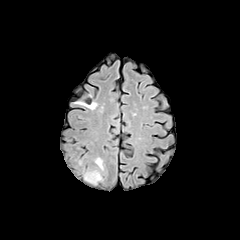
FLAIR magnetic resonance.
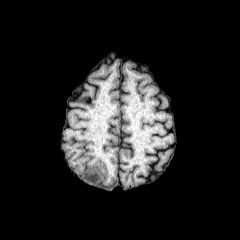
T1-weighted magnetic resonance.
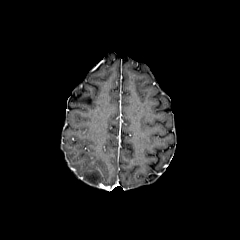
Same slice, post-contrast T1-weighted magnetic resonance.
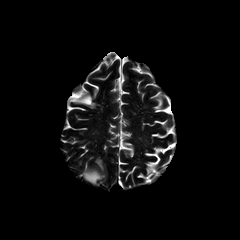
T2-weighted MR of the same slice.
Head, Axial plane
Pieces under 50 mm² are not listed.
peritumoral_edema:
  - {"x1": 83, "y1": 170, "x2": 102, "y2": 184}
  - {"x1": 95, "y1": 158, "x2": 103, "y2": 170}